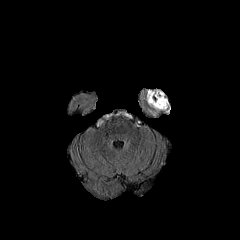
FLAIR magnetic resonance.
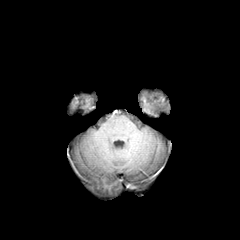
T1-weighted MR image.
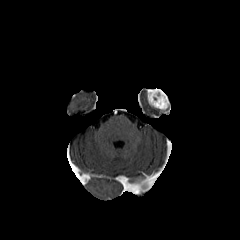
Post-contrast T1-weighted MRI.
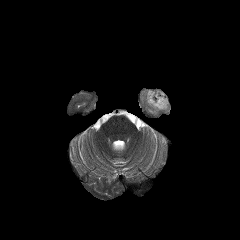
T2-weighted magnetic resonance.
Brain
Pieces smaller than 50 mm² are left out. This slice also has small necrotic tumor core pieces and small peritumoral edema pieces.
enhancing tumor: [147,89,169,110]